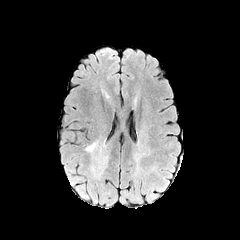
FLAIR magnetic resonance.
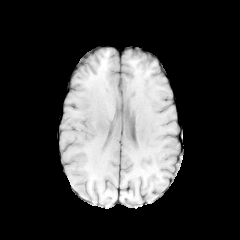
T1-weighted MR of the same slice.
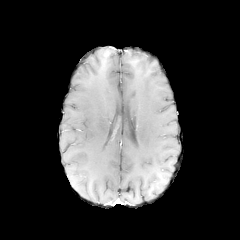
Post-contrast T1-weighted MR image.
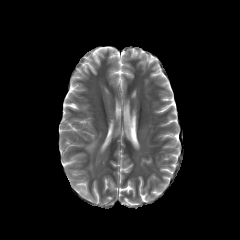
T2-weighted magnetic resonance.
Brain; 240x240; Axial plane
The peritumoral edema appears at 85:140:97:152.